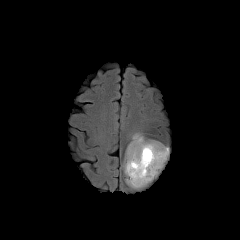
FLAIR MR.
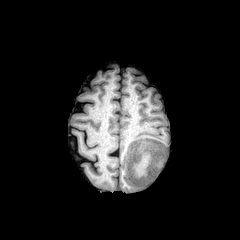
Same slice, T1-weighted magnetic resonance.
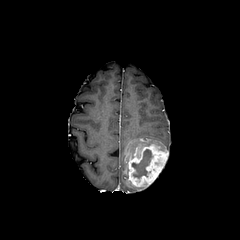
Post-contrast T1-weighted MRI of the same slice.
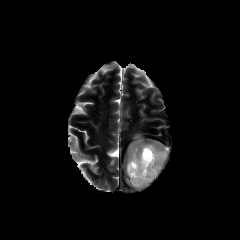
T2-weighted MR image.
Axial slice.
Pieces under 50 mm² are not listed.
enhancing tumor: l=124, t=139, r=168, b=187 | peritumoral edema: l=126, t=133, r=144, b=152 | necrotic tumor core: l=132, t=149, r=152, b=177